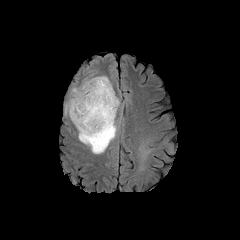
FLAIR MRI.
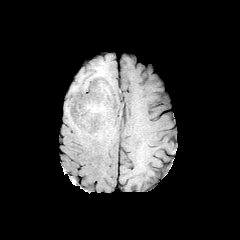
T1-weighted MR image.
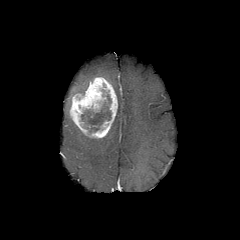
Post-contrast T1-weighted magnetic resonance.
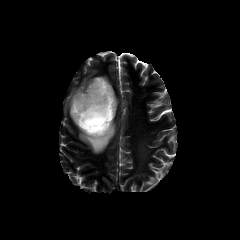
T2-weighted MR.
Axial slice
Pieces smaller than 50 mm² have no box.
{
  "necrotic_tumor_core": [
    "<box>81,102,111,132</box>"
  ],
  "enhancing_tumor": [
    "<box>69,77,117,138</box>"
  ],
  "peritumoral_edema": [
    "<box>164,134,174,149</box>",
    "<box>74,99,119,154</box>",
    "<box>66,78,93,112</box>"
  ]
}